Brain | Image size 240x240
FLAIR magnetic resonance.
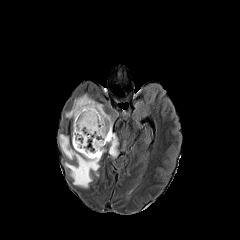
T1-weighted MR image.
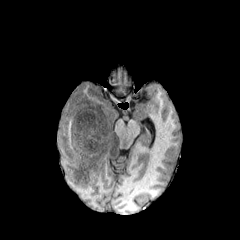
Post-contrast T1-weighted MR image.
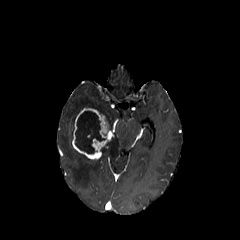
T2-weighted MRI.
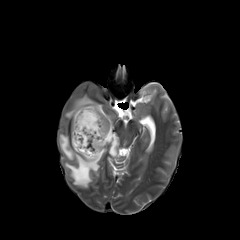
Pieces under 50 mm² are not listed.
peritumoral edema = <bbox>65, 94, 112, 130</bbox>, <bbox>59, 134, 100, 188</bbox>, <bbox>107, 134, 119, 157</bbox>
necrotic tumor core = <bbox>75, 111, 105, 153</bbox>
enhancing tumor = <bbox>72, 107, 114, 159</bbox>